Image covers 240 mm x 240 mm | Slice 89 of 155
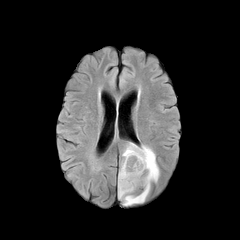
FLAIR MRI.
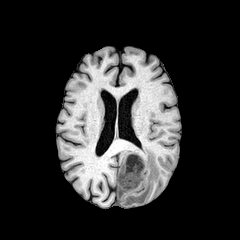
T1-weighted magnetic resonance of the same slice.
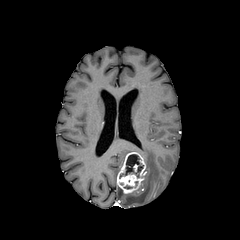
Post-contrast T1-weighted MR.
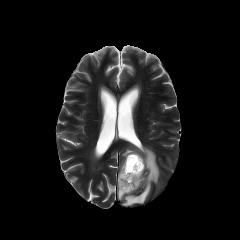
T2-weighted magnetic resonance.
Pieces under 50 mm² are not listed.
The largest necrotic tumor core region appears at 119:154:143:177. The largest peritumoral edema region is at 118:143:159:205. The largest enhancing tumor region lies within 117:152:145:193.